FLAIR magnetic resonance.
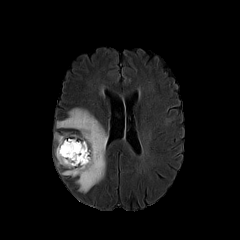
T1-weighted MR.
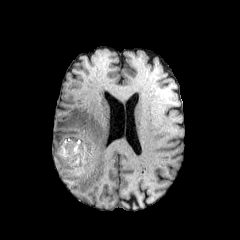
Post-contrast T1-weighted MR image.
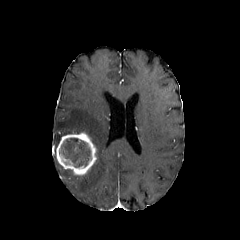
T2-weighted MR image.
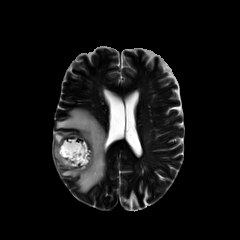
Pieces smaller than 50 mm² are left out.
Annotated regions:
- enhancing tumor: l=56, t=132, r=97, b=175
- peritumoral edema: l=61, t=169, r=77, b=176; l=54, t=133, r=68, b=146; l=56, t=108, r=107, b=192
- necrotic tumor core: l=60, t=138, r=90, b=167